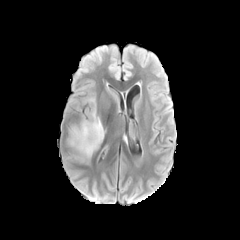
FLAIR MR image.
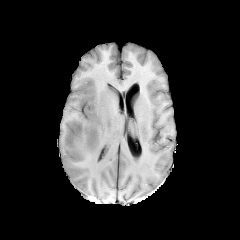
T1-weighted MRI.
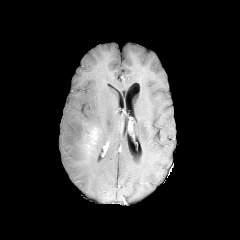
Post-contrast T1-weighted MR.
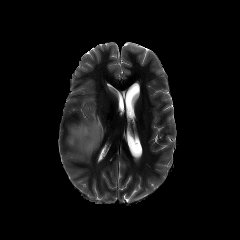
Same slice, T2-weighted magnetic resonance.
Axial slice; Head; 240x240
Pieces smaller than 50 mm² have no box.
peritumoral_edema:
  - l=68, t=107, r=104, b=158
enhancing_tumor:
  - l=82, t=125, r=100, b=154